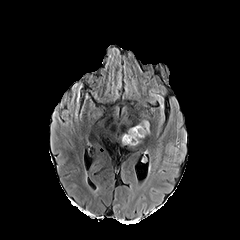
FLAIR MR.
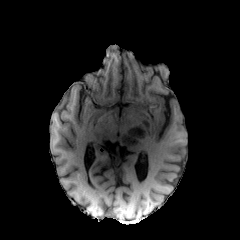
T1-weighted MRI.
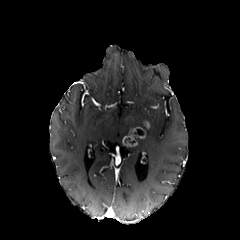
Post-contrast T1-weighted MRI.
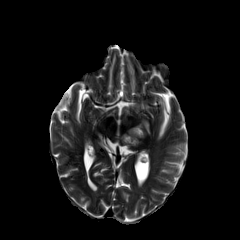
Same slice, T2-weighted magnetic resonance.
Brain, Axial view
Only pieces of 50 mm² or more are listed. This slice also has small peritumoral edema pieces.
* necrotic tumor core: [x1=133, y1=129, x2=144, y2=135]
* enhancing tumor: [x1=122, y1=127, x2=145, y2=146]